Head | Slice index 107
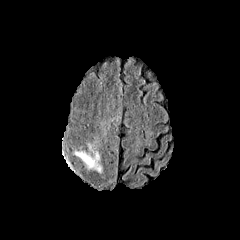
FLAIR MR.
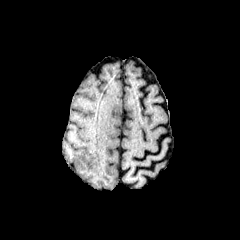
T1-weighted magnetic resonance of the same slice.
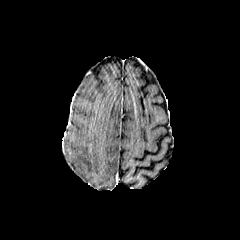
Post-contrast T1-weighted MR image.
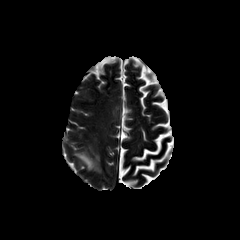
T2-weighted magnetic resonance of the same slice.
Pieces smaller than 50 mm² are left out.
peritumoral edema — x1=75 y1=151 x2=101 y2=172